Slice 115/155, Image width 240 mm, 1.00 mm slice spacing, Head
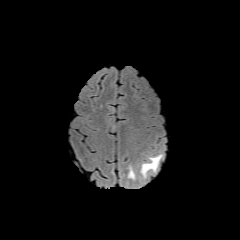
FLAIR MR.
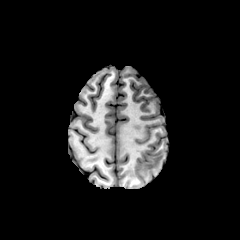
T1-weighted MR of the same slice.
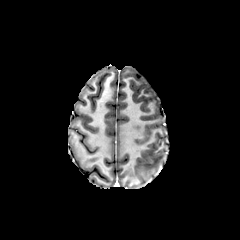
Post-contrast T1-weighted MR.
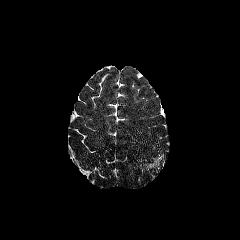
Same slice, T2-weighted MR image.
2 peritumoral edema regions are bounded by [x1=127, y1=165, x2=135, y2=178], [x1=140, y1=154, x2=163, y2=176].